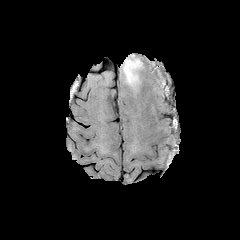
FLAIR MRI.
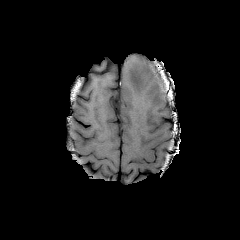
T1-weighted MRI.
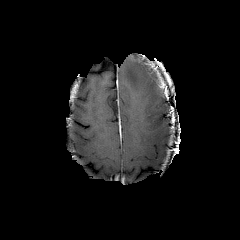
Post-contrast T1-weighted MR.
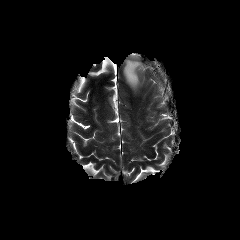
T2-weighted MR of the same slice.
Axial view. Brain.
peritumoral edema: [123,55,144,90]